Axial view; Head
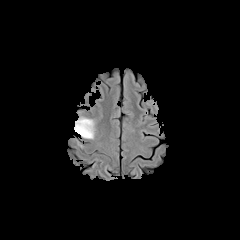
FLAIR MRI.
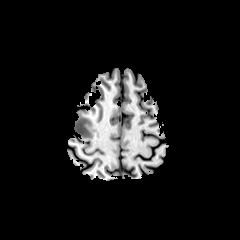
Same slice, T1-weighted MRI.
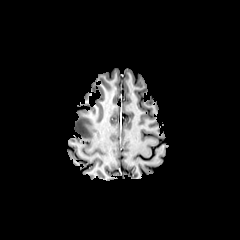
Post-contrast T1-weighted magnetic resonance.
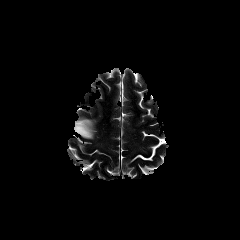
Same slice, T2-weighted MRI.
peritumoral edema at x1=74, y1=117, x2=94, y2=139